Axial view.
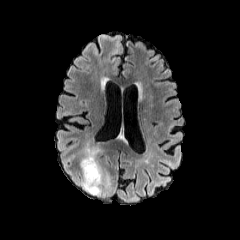
FLAIR MR image.
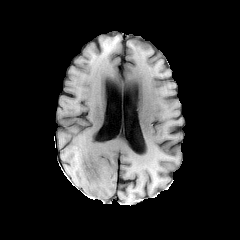
Same slice, T1-weighted MRI.
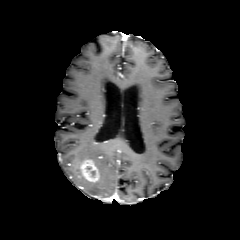
Post-contrast T1-weighted magnetic resonance.
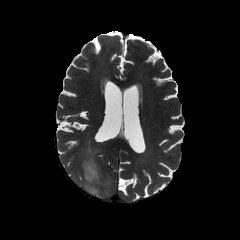
T2-weighted magnetic resonance.
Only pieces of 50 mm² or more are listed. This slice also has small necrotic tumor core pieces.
peritumoral edema at 72,144,110,197
enhancing tumor at 81,159,99,182